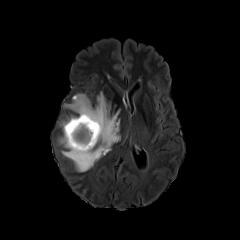
FLAIR MR.
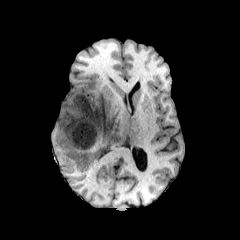
T1-weighted MRI.
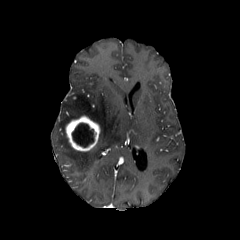
Same slice, post-contrast T1-weighted MR.
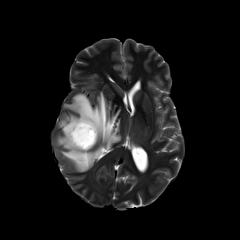
Same slice, T2-weighted magnetic resonance.
The peritumoral edema is located at [58,92,120,172]. The necrotic tumor core is located at [72,123,94,147]. The enhancing tumor is bounded by [65,115,100,151].